FLAIR MR image.
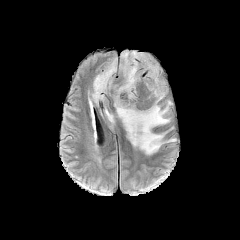
T1-weighted MR.
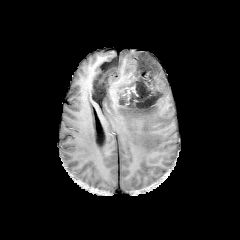
Post-contrast T1-weighted magnetic resonance.
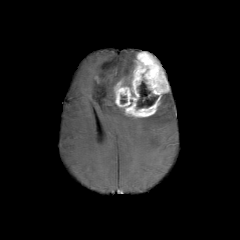
T2-weighted MR image.
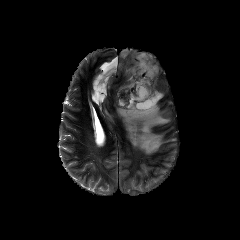
240x240 px
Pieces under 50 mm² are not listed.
enhancing tumor: left=114, top=51, right=169, bottom=117 | peritumoral edema: left=92, top=51, right=175, bottom=154 | necrotic tumor core: left=137, top=81, right=158, bottom=108